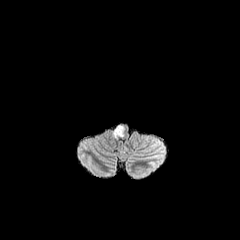
FLAIR magnetic resonance.
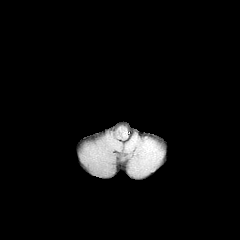
T1-weighted MR image of the same slice.
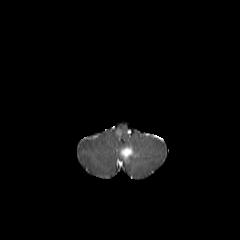
Post-contrast T1-weighted MR.
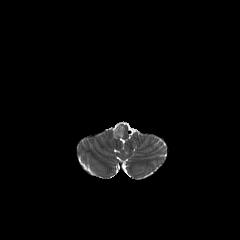
T2-weighted MR.
Axial view. 240x240 px. Brain.
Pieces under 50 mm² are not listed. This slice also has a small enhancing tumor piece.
peritumoral edema at rect(113, 125, 124, 139)